Image width 240 mm, 1.00 mm slice spacing | Axial view | Slice 90/155 | 240x240 px | Head
FLAIR MR.
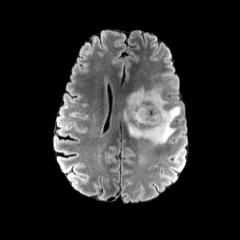
T1-weighted MRI.
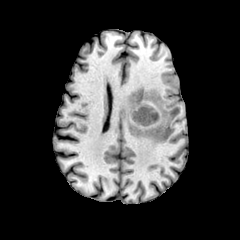
Post-contrast T1-weighted MRI.
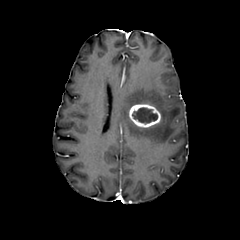
T2-weighted MR image.
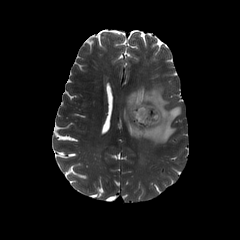
peritumoral edema at <bbox>122, 85, 180, 143</bbox>
necrotic tumor core at <bbox>132, 107, 157, 122</bbox>
enhancing tumor at <bbox>129, 104, 161, 127</bbox>